Axial slice, Brain
FLAIR MR image.
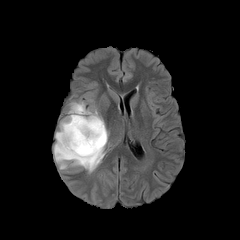
T1-weighted MRI.
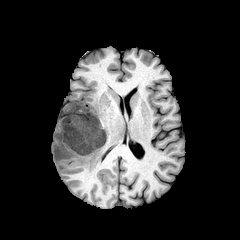
Post-contrast T1-weighted MRI.
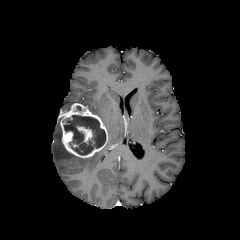
T2-weighted MR.
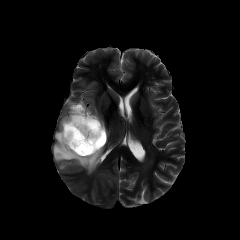
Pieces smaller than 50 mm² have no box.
Findings:
* enhancing tumor: 60, 103, 107, 158; 77, 126, 93, 143
* peritumoral edema: 53, 124, 104, 173
* necrotic tumor core: 65, 115, 105, 155